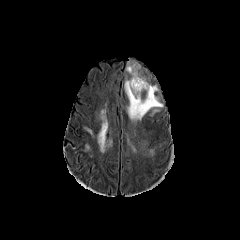
FLAIR magnetic resonance.
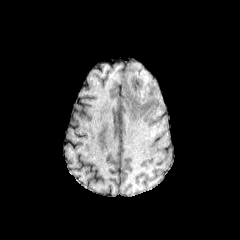
T1-weighted MR image.
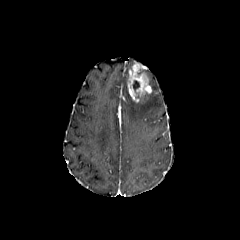
Post-contrast T1-weighted MRI of the same slice.
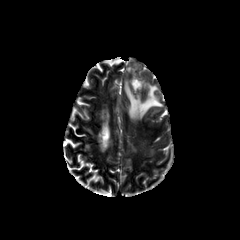
T2-weighted MR image.
Head
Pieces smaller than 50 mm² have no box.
Segmented structures:
• peritumoral edema: bbox(124, 78, 163, 121)
• enhancing tumor: bbox(127, 60, 158, 103)
• necrotic tumor core: bbox(133, 80, 139, 91)